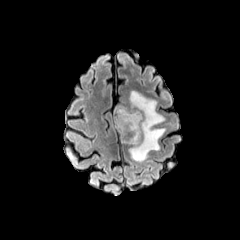
FLAIR magnetic resonance.
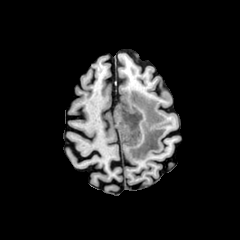
T1-weighted MRI.
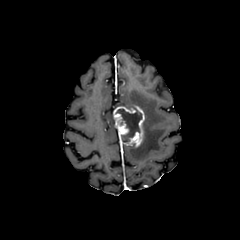
Post-contrast T1-weighted MRI.
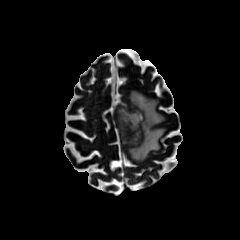
Same slice, T2-weighted magnetic resonance.
Brain
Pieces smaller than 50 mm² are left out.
peritumoral edema: 128,90,165,161
necrotic tumor core: 116,108,141,142
enhancing tumor: 114,106,144,146